Axial plane | 240x240 | Slice 74 of 155
FLAIR MR image.
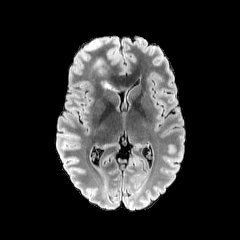
T1-weighted MR image.
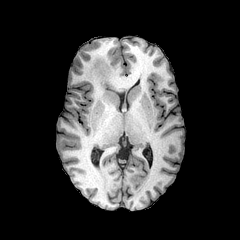
Post-contrast T1-weighted MR image.
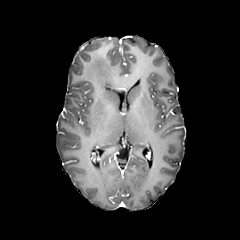
T2-weighted MR image.
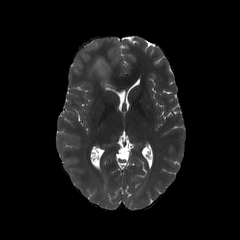
2 peritumoral edema regions are located at (x1=103, y1=82, x2=112, y2=89), (x1=94, y1=59, x2=105, y2=73).